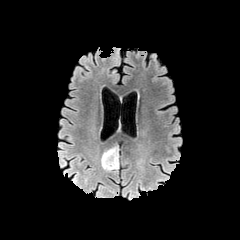
FLAIR MR.
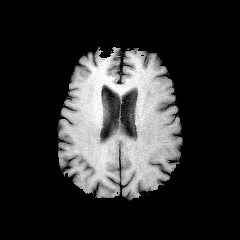
T1-weighted MRI of the same slice.
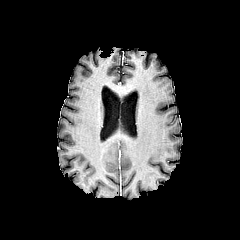
Post-contrast T1-weighted magnetic resonance of the same slice.
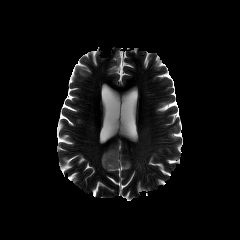
T2-weighted magnetic resonance.
Axial view, Brain
The peritumoral edema appears at (x1=101, y1=146, x2=118, y2=171).